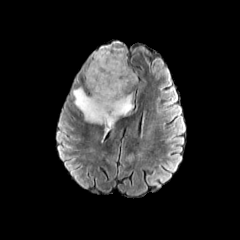
FLAIR magnetic resonance.
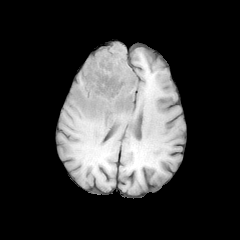
T1-weighted MR image of the same slice.
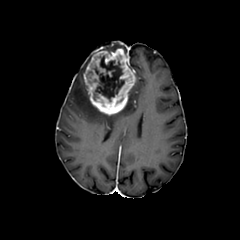
Post-contrast T1-weighted MRI.
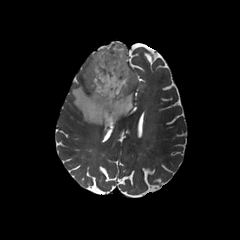
T2-weighted MRI of the same slice.
240x240
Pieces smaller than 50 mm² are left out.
<segmentation>
  <enhancing_tumor><box>83,44,135,115</box></enhancing_tumor>
  <necrotic_tumor_core><box>93,54,129,107</box></necrotic_tumor_core>
  <peritumoral_edema><box>102,41,126,53</box>, <box>72,86,134,142</box></peritumoral_edema>
</segmentation>